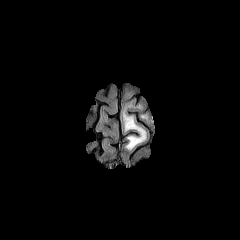
FLAIR MRI.
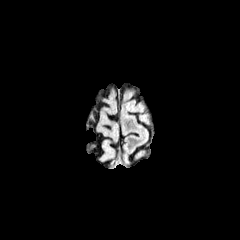
Same slice, T1-weighted MRI.
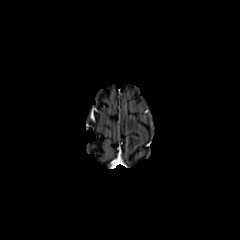
Post-contrast T1-weighted MR.
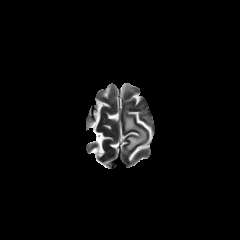
Same slice, T2-weighted MRI.
Axial plane, Image size 240x240
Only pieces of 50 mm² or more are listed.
peritumoral edema: <box>123,112,146,149</box>